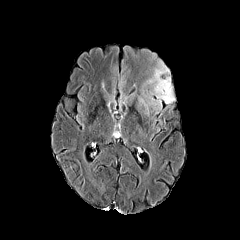
FLAIR MR image.
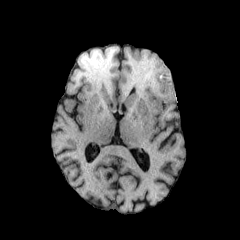
T1-weighted MR.
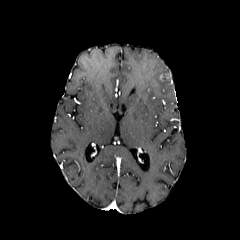
Post-contrast T1-weighted MR of the same slice.
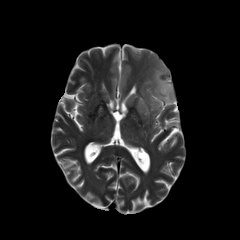
Same slice, T2-weighted MRI.
Image size 240x240. Brain. Axial slice.
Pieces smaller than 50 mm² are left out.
The largest peritumoral edema region is at left=145, top=59, right=175, bottom=109.